FLAIR MRI.
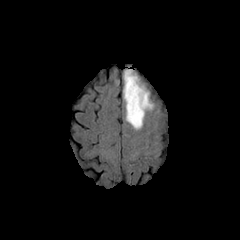
T1-weighted MR image.
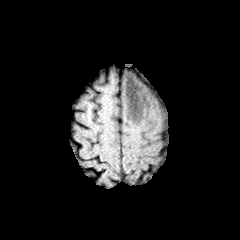
Post-contrast T1-weighted magnetic resonance.
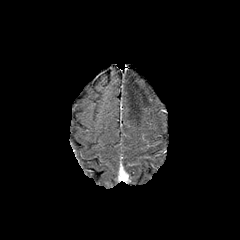
T2-weighted MRI.
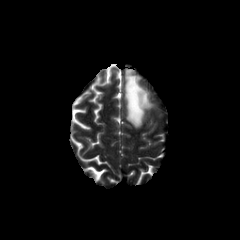
Axial plane; Brain
The peritumoral edema lies within bbox=[124, 69, 152, 128].